Image size 240x240; Head; Slice 66 of 155; Axial slice
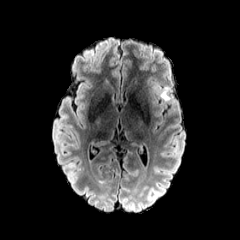
FLAIR MR image.
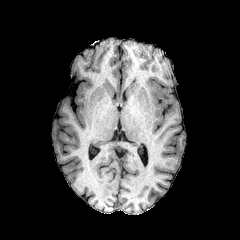
T1-weighted MR.
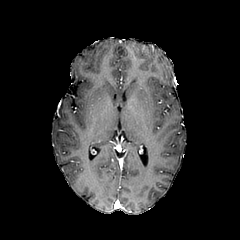
Same slice, post-contrast T1-weighted MR.
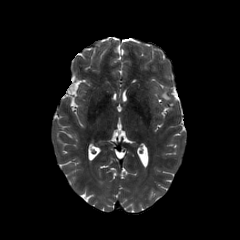
Same slice, T2-weighted magnetic resonance.
peritumoral edema: 159 87 170 101